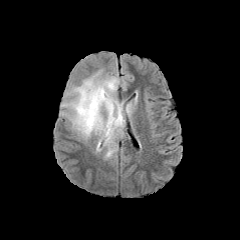
FLAIR MRI.
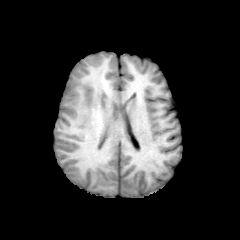
T1-weighted MR of the same slice.
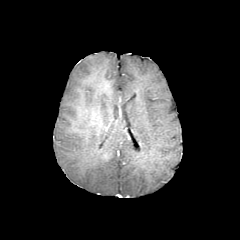
Post-contrast T1-weighted MRI of the same slice.
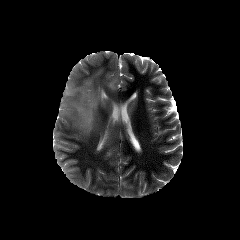
T2-weighted MR.
Axial slice; Brain
{
  "peritumoral_edema": [
    "<bbox>126, 102, 136, 115</bbox>",
    "<bbox>62, 70, 124, 157</bbox>"
  ]
}